FLAIR magnetic resonance.
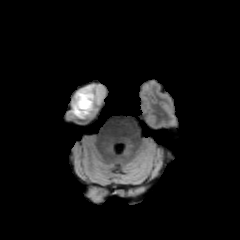
T1-weighted magnetic resonance.
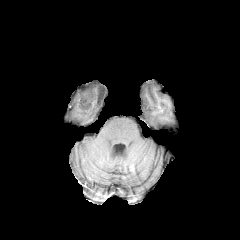
Post-contrast T1-weighted MR image.
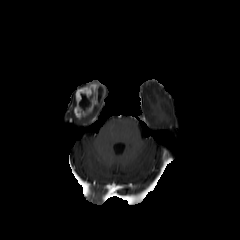
T2-weighted MRI.
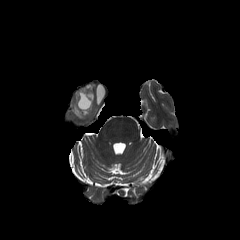
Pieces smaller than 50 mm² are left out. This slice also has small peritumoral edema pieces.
{
  "necrotic_tumor_core": [
    "(79,93,92,110)",
    "(98,87,103,100)"
  ],
  "enhancing_tumor": [
    "(73,82,105,119)"
  ]
}